Axial slice. Image size 240x240. Image width 240 mm, 1.00 mm slice spacing. Brain.
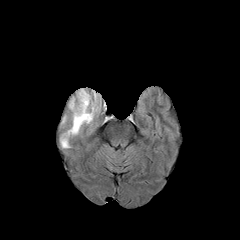
FLAIR MRI.
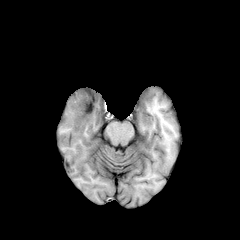
T1-weighted MR image of the same slice.
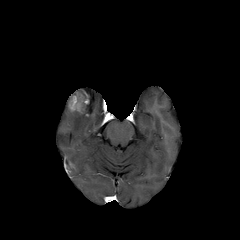
Post-contrast T1-weighted MRI of the same slice.
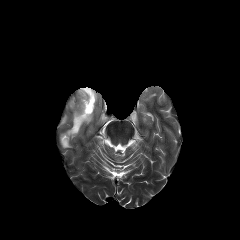
Same slice, T2-weighted MRI.
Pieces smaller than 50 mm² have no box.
<segmentation>
  <peritumoral_edema>{"x1": 60, "y1": 88, "x2": 101, "y2": 148}</peritumoral_edema>
  <enhancing_tumor>{"x1": 68, "y1": 90, "x2": 89, "y2": 113}</enhancing_tumor>
</segmentation>